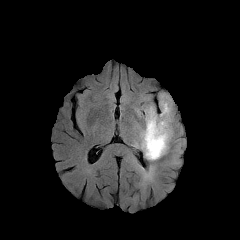
FLAIR MR image.
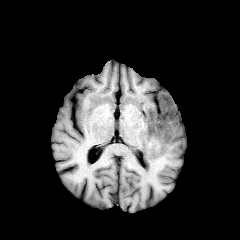
T1-weighted MRI.
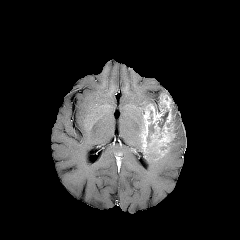
Same slice, post-contrast T1-weighted MR.
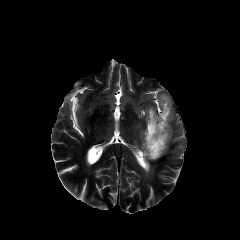
Same slice, T2-weighted MR.
Image size 240x240
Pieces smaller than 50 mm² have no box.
The 3 largest necrotic tumor core regions are located at box(158, 111, 168, 128); box(147, 124, 154, 143); box(148, 143, 159, 156). The enhancing tumor is at box(141, 93, 174, 157). The 2 largest peritumoral edema regions appear at box(133, 123, 144, 151); box(144, 154, 163, 178).